Head, Axial view, 240x240
FLAIR MR image.
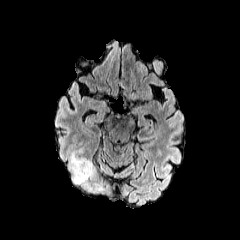
T1-weighted MR.
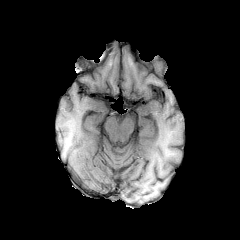
Post-contrast T1-weighted magnetic resonance.
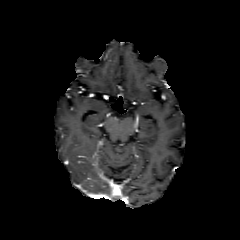
T2-weighted MRI.
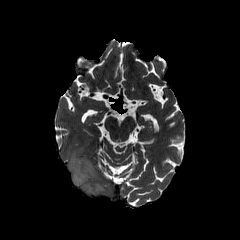
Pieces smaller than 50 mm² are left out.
peritumoral edema: l=71, t=153, r=92, b=182